Head
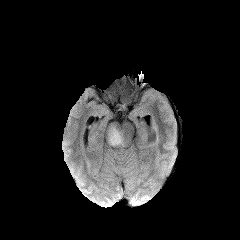
FLAIR magnetic resonance.
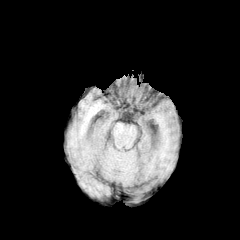
T1-weighted MR.
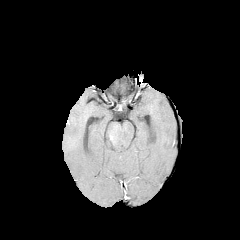
Post-contrast T1-weighted MR.
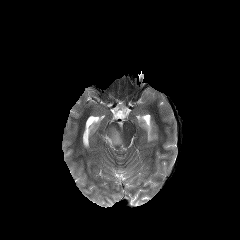
Same slice, T2-weighted MR.
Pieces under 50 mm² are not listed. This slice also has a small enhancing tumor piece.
peritumoral edema at (left=108, top=128, right=122, bottom=145)